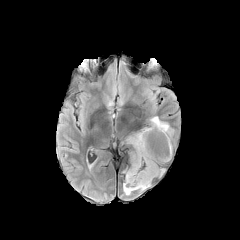
FLAIR MR.
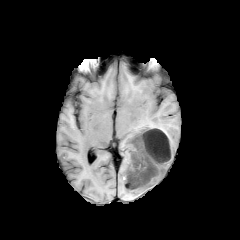
T1-weighted MR.
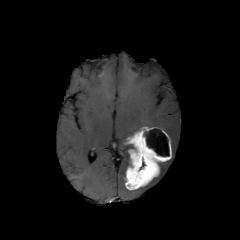
Post-contrast T1-weighted MRI.
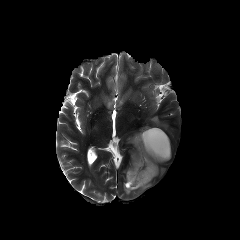
T2-weighted magnetic resonance.
240x240 px; Axial plane
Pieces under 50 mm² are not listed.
necrotic_tumor_core:
  - {"x1": 144, "y1": 128, "x2": 169, "y2": 156}
peritumoral_edema:
  - {"x1": 123, "y1": 183, "x2": 134, "y2": 195}
  - {"x1": 150, "y1": 116, "x2": 171, "y2": 134}
  - {"x1": 137, "y1": 182, "x2": 150, "y2": 191}
enhancing_tumor:
  - {"x1": 125, "y1": 127, "x2": 171, "y2": 189}